Head
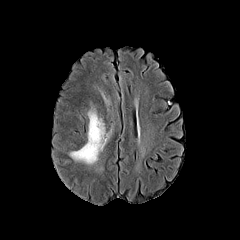
FLAIR MR image.
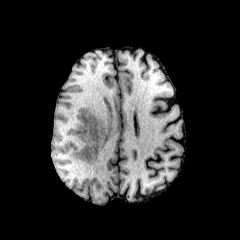
T1-weighted MR image of the same slice.
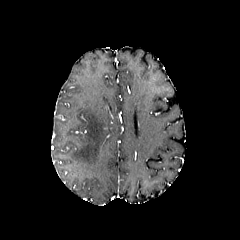
Same slice, post-contrast T1-weighted MRI.
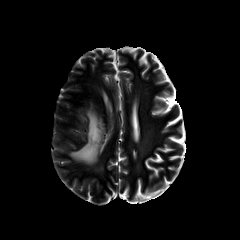
T2-weighted magnetic resonance.
{
  "peritumoral_edema": [
    "(left=70, top=108, right=106, bottom=164)"
  ]
}